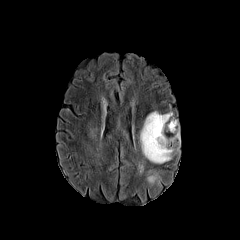
FLAIR MRI.
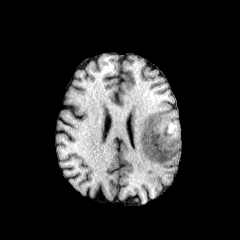
Same slice, T1-weighted magnetic resonance.
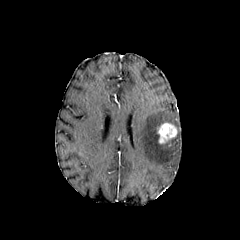
Post-contrast T1-weighted MR image.
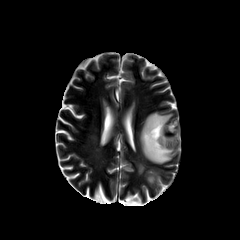
T2-weighted MR image.
Head. Axial plane.
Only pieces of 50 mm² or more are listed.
The 2 largest peritumoral edema regions appear at [146, 169, 160, 185], [140, 111, 180, 163]. The enhancing tumor appears at [158, 122, 177, 144].